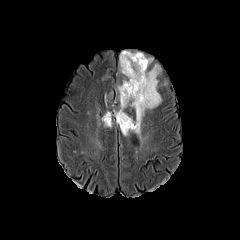
FLAIR magnetic resonance.
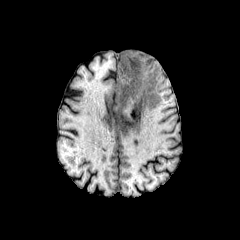
T1-weighted magnetic resonance of the same slice.
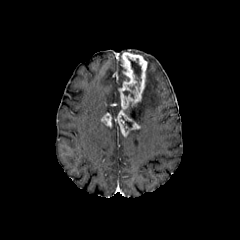
Post-contrast T1-weighted MRI of the same slice.
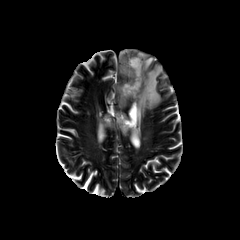
Same slice, T2-weighted MR.
Brain
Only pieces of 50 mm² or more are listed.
enhancing tumor: x1=101 y1=113 x2=112 y2=126, x1=116 y1=52 x2=147 y2=136 | peritumoral edema: x1=119 y1=50 x2=161 y2=135, x1=106 y1=110 x2=118 y2=126 | necrotic tumor core: x1=130 y1=60 x2=141 y2=82